FLAIR MR.
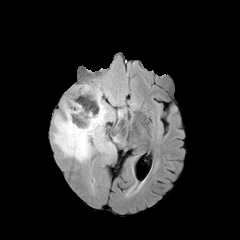
T1-weighted magnetic resonance.
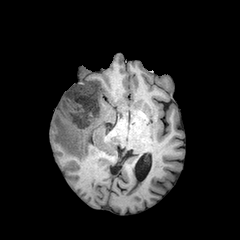
Post-contrast T1-weighted magnetic resonance.
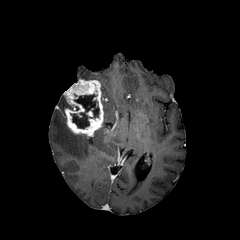
T2-weighted MR.
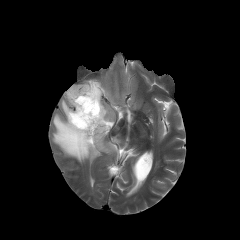
Axial slice
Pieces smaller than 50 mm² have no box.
<segmentation>
  <necrotic_tumor_core>(71,94,99,128)</necrotic_tumor_core>
  <peritumoral_edema>(118,110,125,119), (53,97,115,162), (98,80,118,105)</peritumoral_edema>
  <enhancing_tumor>(64,80,103,136)</enhancing_tumor>
</segmentation>